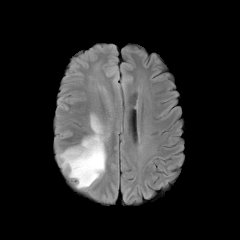
FLAIR magnetic resonance.
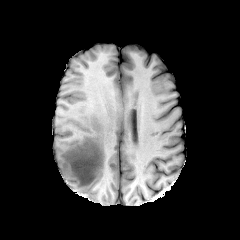
Same slice, T1-weighted MRI.
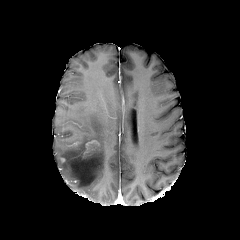
Post-contrast T1-weighted MR image of the same slice.
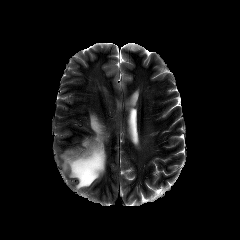
T2-weighted MR of the same slice.
Axial slice, Brain
{
  "enhancing_tumor": [
    "84:140:98:155"
  ],
  "peritumoral_edema": [
    "59:114:108:188"
  ]
}